Slice 105 of 155
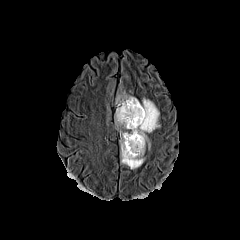
FLAIR MRI.
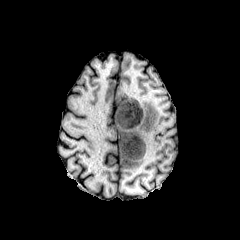
T1-weighted magnetic resonance.
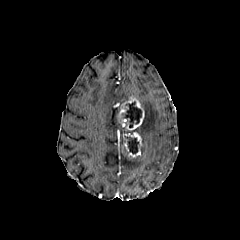
Post-contrast T1-weighted magnetic resonance.
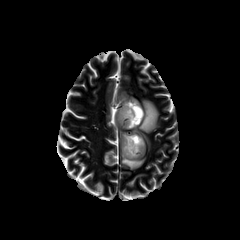
T2-weighted magnetic resonance.
necrotic_tumor_core:
  - left=122, top=101, right=141, bottom=127
  - left=125, top=136, right=138, bottom=153
peritumoral_edema:
  - left=115, top=98, right=159, bottom=169
  - left=116, top=92, right=132, bottom=103
enhancing_tumor:
  - left=117, top=97, right=144, bottom=130
  - left=122, top=132, right=143, bottom=158